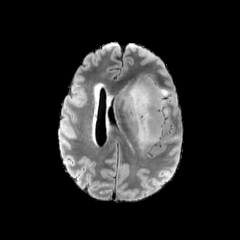
FLAIR MRI.
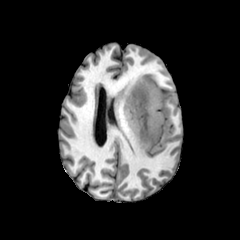
T1-weighted MRI.
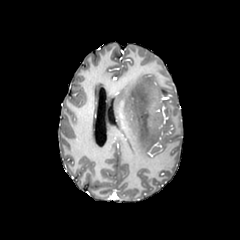
Post-contrast T1-weighted MR of the same slice.
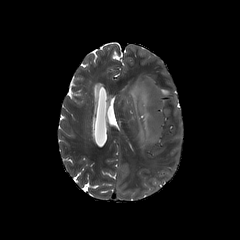
Same slice, T2-weighted magnetic resonance.
Brain; Axial plane
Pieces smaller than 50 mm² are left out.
Segmented structures:
- peritumoral edema: bbox=[119, 76, 169, 150]